FLAIR magnetic resonance.
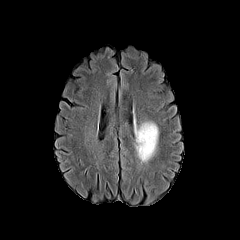
T1-weighted MR image.
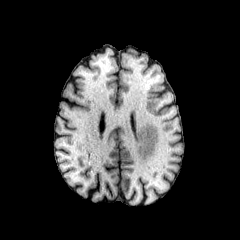
Post-contrast T1-weighted MRI.
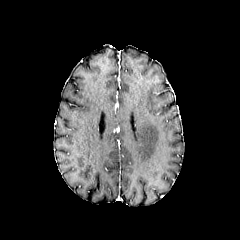
T2-weighted MR image.
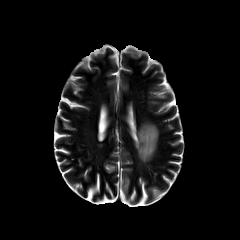
Axial slice; Head
peritumoral edema: (x1=136, y1=122, x2=158, y2=162)